FLAIR MRI.
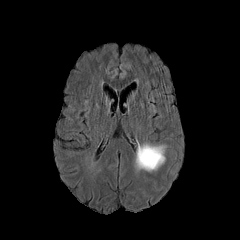
T1-weighted MRI.
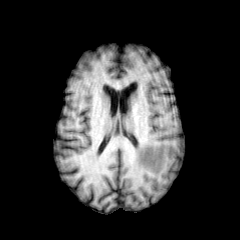
Post-contrast T1-weighted magnetic resonance.
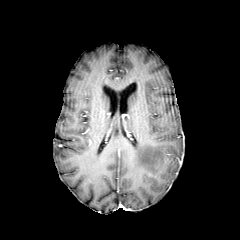
T2-weighted MR.
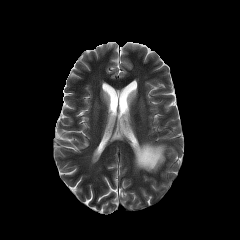
Head | Axial plane
peritumoral edema: left=135, top=143, right=165, bottom=171